Slice 114/155. Head. 240x240 px.
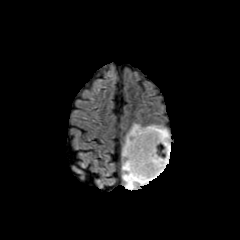
FLAIR MRI.
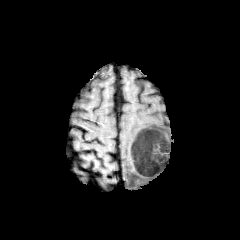
T1-weighted MRI.
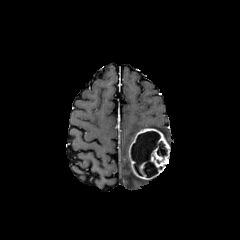
Same slice, post-contrast T1-weighted MR.
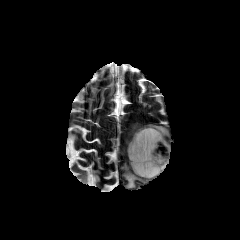
Same slice, T2-weighted MR.
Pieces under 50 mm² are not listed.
necrotic tumor core at 131, 131, 166, 177
enhancing tumor at 128, 128, 170, 179
peritumoral edema at 122, 124, 170, 189